FLAIR MR image.
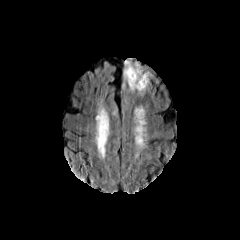
T1-weighted magnetic resonance.
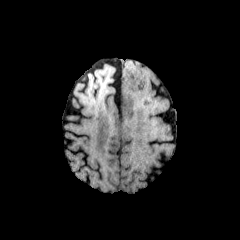
Post-contrast T1-weighted MR.
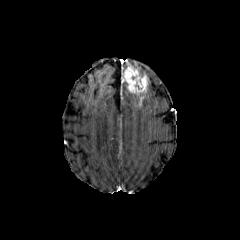
T2-weighted MRI.
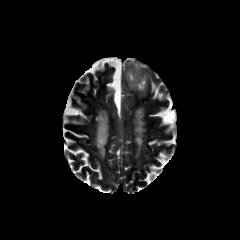
Head
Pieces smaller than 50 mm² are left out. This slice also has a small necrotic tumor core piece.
peritumoral edema at 135 87 147 99, 132 62 149 85
enhancing tumor at 123 63 147 93